FLAIR magnetic resonance.
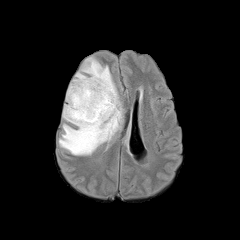
T1-weighted magnetic resonance.
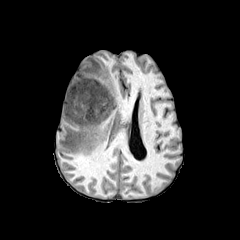
Post-contrast T1-weighted MRI.
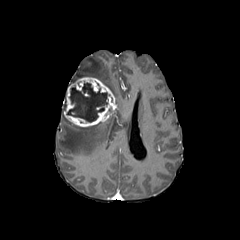
T2-weighted MR.
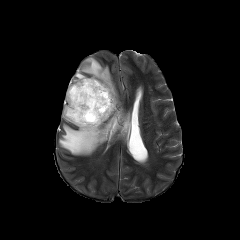
240x240 px; Axial slice; Head
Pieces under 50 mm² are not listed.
enhancing tumor: bbox(64, 77, 116, 127) | necrotic tumor core: bbox(67, 82, 107, 122) | peritumoral edema: bbox(58, 57, 122, 155)